Slice index 67 | Head
FLAIR MR image.
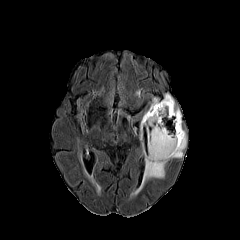
T1-weighted magnetic resonance.
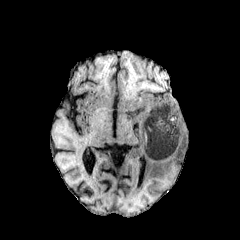
Post-contrast T1-weighted magnetic resonance.
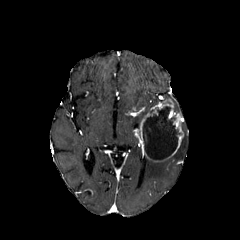
T2-weighted MRI.
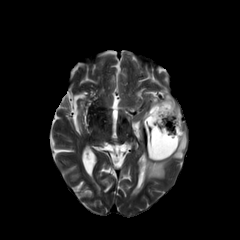
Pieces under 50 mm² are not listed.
Annotated regions:
* peritumoral edema: (x1=150, y1=98, x2=161, y2=108), (x1=140, y1=130, x2=186, y2=189), (x1=164, y1=94, x2=179, y2=111)
* enhancing tumor: (x1=139, y1=98, x2=184, y2=162)
* necrotic tumor core: (x1=143, y1=106, x2=179, y2=159)